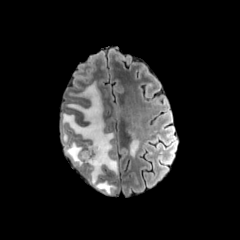
FLAIR MRI.
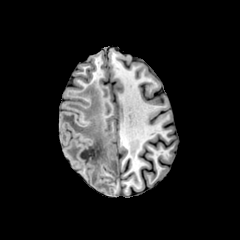
T1-weighted MRI.
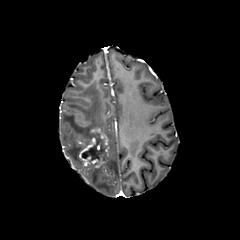
Same slice, post-contrast T1-weighted MRI.
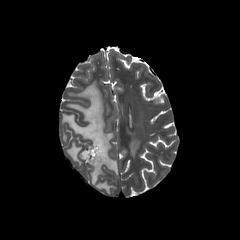
Same slice, T2-weighted magnetic resonance.
Axial slice, Head
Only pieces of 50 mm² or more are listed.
peritumoral_edema:
  - bbox=[127, 130, 138, 156]
  - bbox=[62, 82, 118, 194]
necrotic_tumor_core:
  - bbox=[82, 133, 106, 161]
enhancing_tumor:
  - bbox=[79, 128, 108, 167]